Brain, 240x240 px, Axial slice, Image width 240 mm
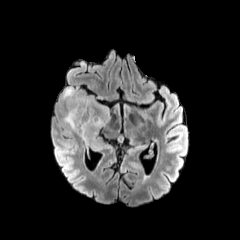
FLAIR MR.
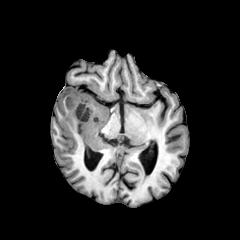
T1-weighted MRI.
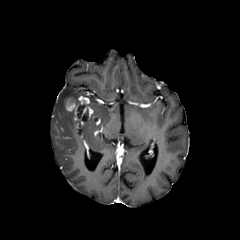
Post-contrast T1-weighted MR of the same slice.
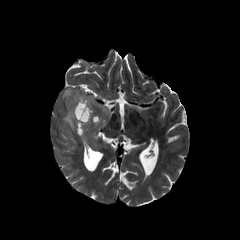
T2-weighted MR image of the same slice.
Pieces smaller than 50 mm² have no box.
The largest necrotic tumor core region is bounded by 77 106 84 117. The 3 largest peritumoral edema regions are located at 63 111 76 131, 62 87 83 100, 81 97 109 140. The enhancing tumor is at 66 96 100 136.